FLAIR magnetic resonance.
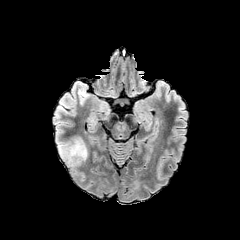
T1-weighted MR.
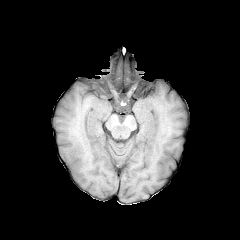
Post-contrast T1-weighted MR.
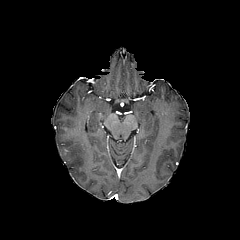
T2-weighted MR image.
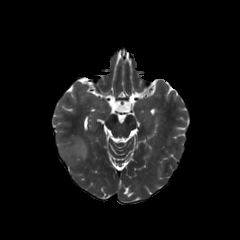
Brain
Findings:
• peritumoral edema: 58:138:87:166